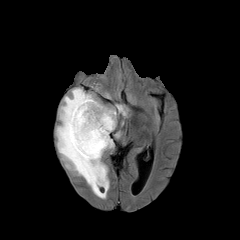
FLAIR magnetic resonance.
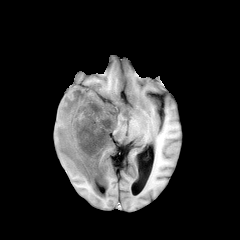
T1-weighted magnetic resonance of the same slice.
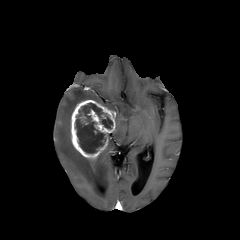
Post-contrast T1-weighted MR.
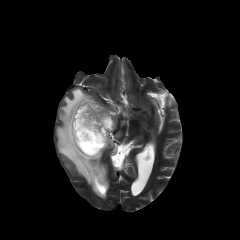
T2-weighted magnetic resonance.
Image size 240x240
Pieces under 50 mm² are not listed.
enhancing tumor = (left=70, top=100, right=116, bottom=161), (left=79, top=114, right=88, bottom=124)
peritumoral edema = (left=106, top=136, right=113, bottom=149), (left=56, top=88, right=109, bottom=198), (left=116, top=104, right=127, bottom=116)
necrotic tumor core = (left=75, top=103, right=105, bottom=153), (left=101, top=116, right=112, bottom=128)